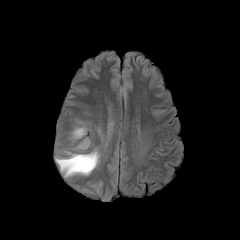
FLAIR MRI.
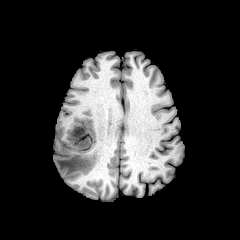
T1-weighted MR image.
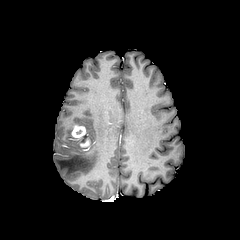
Same slice, post-contrast T1-weighted MR.
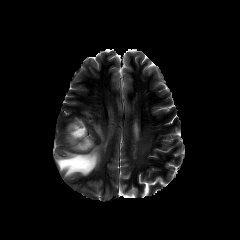
Same slice, T2-weighted MR image.
Brain.
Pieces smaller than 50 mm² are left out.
Annotated regions:
- enhancing tumor: (80,139,89,147), (71,125,85,138)
- peritumoral edema: (55,149,99,176)